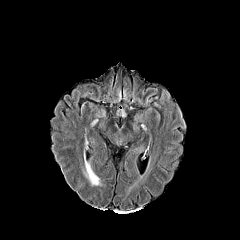
FLAIR MR image.
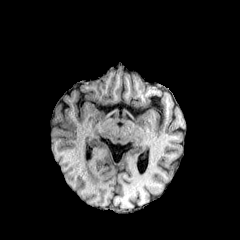
Same slice, T1-weighted MRI.
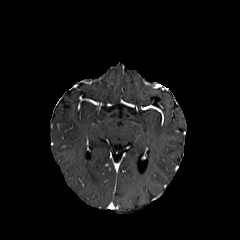
Post-contrast T1-weighted MR image.
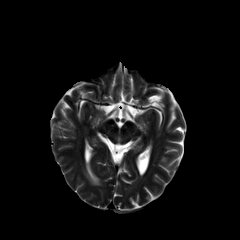
T2-weighted MRI of the same slice.
Axial view | 240x240
peritumoral edema — 85, 161, 99, 185